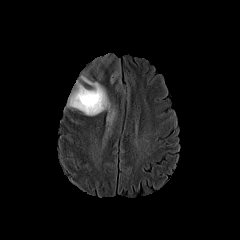
FLAIR MRI.
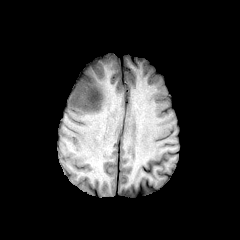
T1-weighted magnetic resonance.
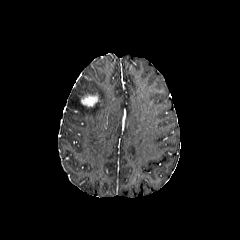
Post-contrast T1-weighted MRI.
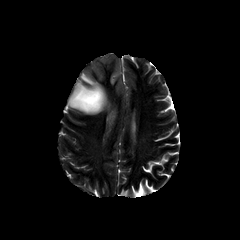
Same slice, T2-weighted MRI.
240x240 px
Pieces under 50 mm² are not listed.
peritumoral edema — [67, 54, 120, 126]
enhancing tumor — [80, 93, 99, 107]